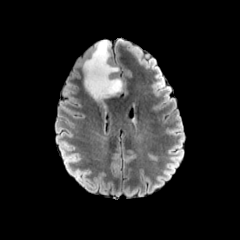
FLAIR MR image.
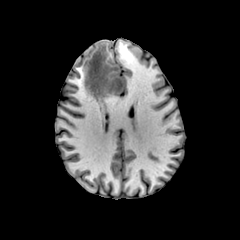
T1-weighted MRI.
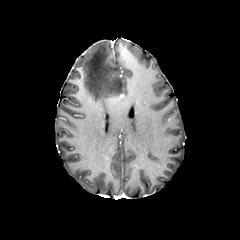
Post-contrast T1-weighted magnetic resonance.
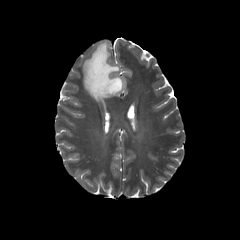
T2-weighted MRI.
peritumoral edema: 83:40:123:100